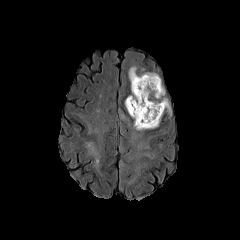
FLAIR MR.
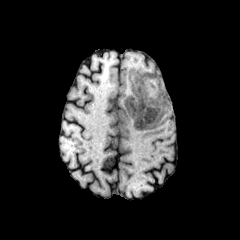
T1-weighted magnetic resonance of the same slice.
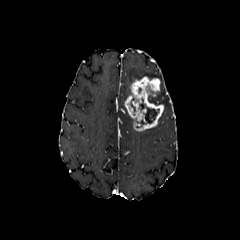
Post-contrast T1-weighted MRI.
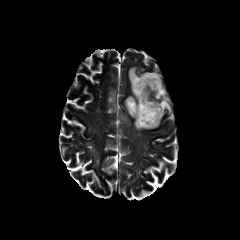
T2-weighted magnetic resonance.
Axial plane. Image size 240x240.
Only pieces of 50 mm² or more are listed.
peritumoral edema: (x1=128, y1=67, x2=159, y2=84), (x1=154, y1=81, x2=165, y2=98), (x1=148, y1=95, x2=171, y2=114) | enhancing tumor: (x1=124, y1=76, x2=164, y2=131) | necrotic tumor core: (x1=140, y1=103, x2=159, y2=123)